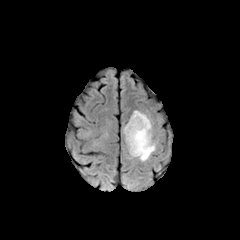
FLAIR magnetic resonance.
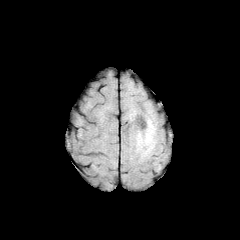
T1-weighted magnetic resonance.
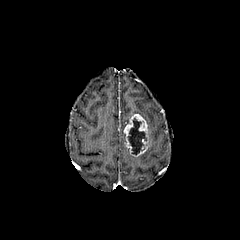
Post-contrast T1-weighted magnetic resonance.
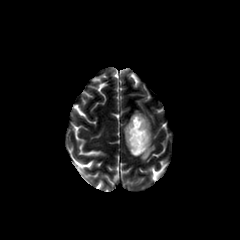
Same slice, T2-weighted MR.
Axial plane, Brain
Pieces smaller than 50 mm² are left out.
The enhancing tumor appears at region(124, 114, 150, 156). The largest peritumoral edema region lies within region(132, 110, 155, 161). The necrotic tumor core lies within region(128, 118, 146, 154).